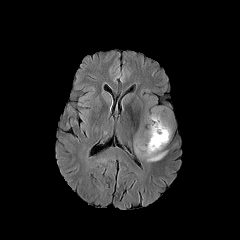
FLAIR MRI.
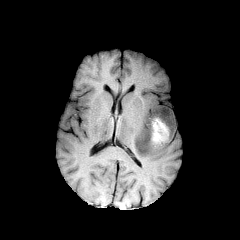
T1-weighted magnetic resonance of the same slice.
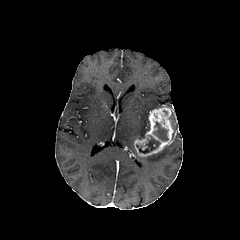
Post-contrast T1-weighted MRI.
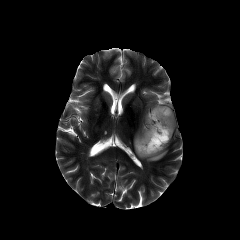
T2-weighted magnetic resonance.
240x240 px, Axial plane
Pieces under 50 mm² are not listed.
The 2 largest necrotic tumor core regions are bounded by (left=154, top=122, right=168, bottom=140), (left=139, top=136, right=160, bottom=153). The largest peritumoral edema region is bounded by (left=140, top=150, right=167, bottom=161). The largest enhancing tumor region appears at (left=134, top=105, right=173, bottom=156).